FLAIR MR image.
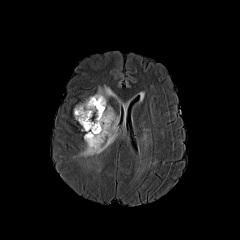
T1-weighted magnetic resonance.
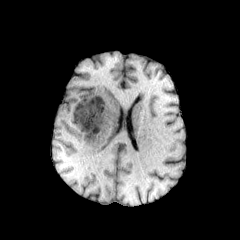
Post-contrast T1-weighted MR.
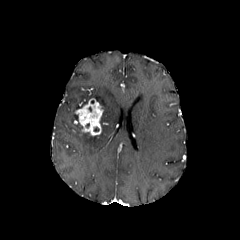
T2-weighted magnetic resonance.
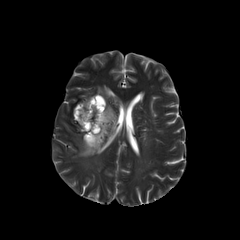
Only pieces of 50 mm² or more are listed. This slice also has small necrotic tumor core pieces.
peritumoral edema: x1=80 y1=85 x2=117 y2=157, x1=74 y1=105 x2=81 y2=120 | enhancing tumor: x1=75 y1=98 x2=103 y2=136